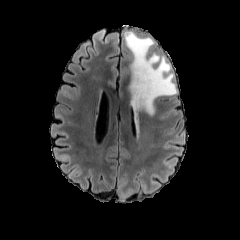
FLAIR MRI.
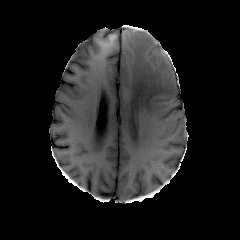
Same slice, T1-weighted magnetic resonance.
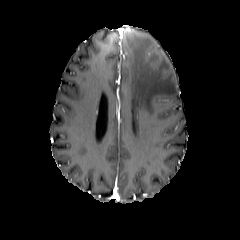
Post-contrast T1-weighted MR of the same slice.
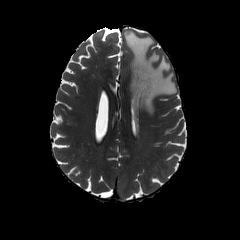
Same slice, T2-weighted magnetic resonance.
<segmentation>
  <peritumoral_edema>l=123, t=30, r=176, b=114</peritumoral_edema>
</segmentation>